Slice 94 of 155 | Brain | Axial slice
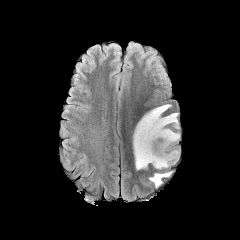
FLAIR MR image.
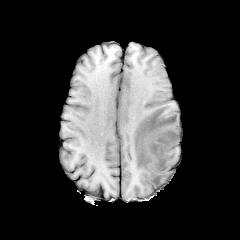
T1-weighted MR.
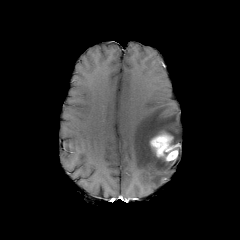
Post-contrast T1-weighted MR image of the same slice.
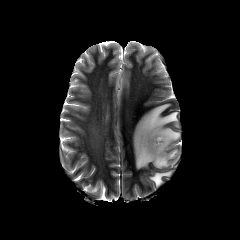
T2-weighted magnetic resonance.
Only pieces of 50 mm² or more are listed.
The 2 largest peritumoral edema regions appear at (left=148, top=171, right=172, bottom=187), (left=133, top=104, right=180, bottom=169). The enhancing tumor is at (left=150, top=131, right=179, bottom=163).